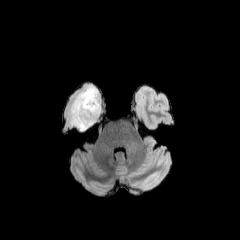
FLAIR MR.
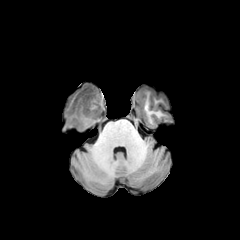
T1-weighted MR.
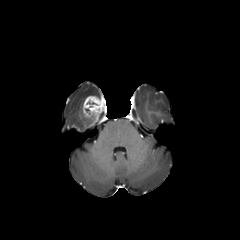
Same slice, post-contrast T1-weighted magnetic resonance.
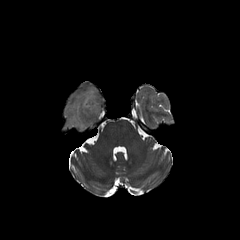
Same slice, T2-weighted MRI.
Axial plane, Image size 240x240, Brain
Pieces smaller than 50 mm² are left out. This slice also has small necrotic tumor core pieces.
{"peritumoral_edema": ["68, 86, 100, 131"], "enhancing_tumor": ["83, 95, 102, 120"]}